FLAIR MRI.
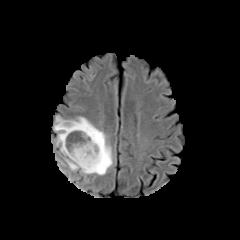
T1-weighted MR image.
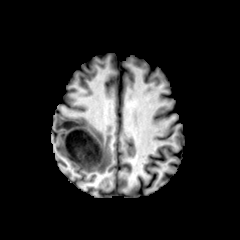
Post-contrast T1-weighted magnetic resonance.
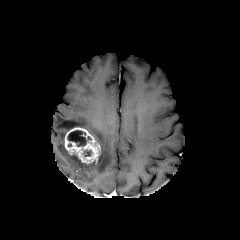
T2-weighted MRI.
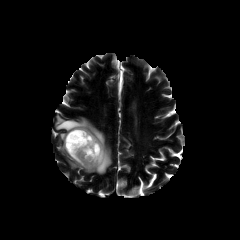
Axial view, Head, Image size 240x240
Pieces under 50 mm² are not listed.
Segmented structures:
* peritumoral edema: <bbox>54, 115, 112, 174</bbox>
* enhancing tumor: <bbox>64, 126, 100, 165</bbox>
* necrotic tumor core: <bbox>67, 130, 86, 146</bbox>